Slice 116/155, 240x240 px, Head
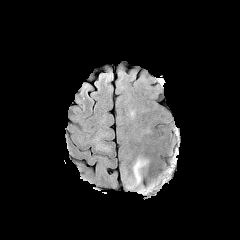
FLAIR MR image.
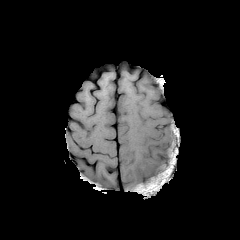
T1-weighted magnetic resonance.
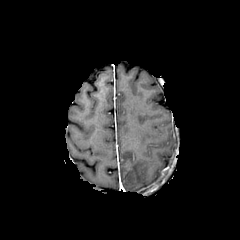
Post-contrast T1-weighted MR of the same slice.
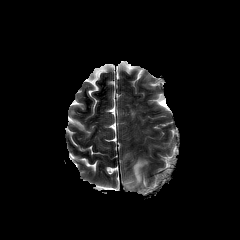
T2-weighted MR.
- peritumoral edema: (123,157,148,190)